Head; Slice 84/155; Axial slice
FLAIR MR.
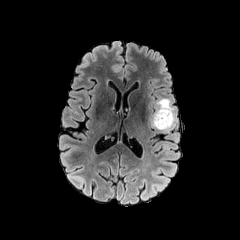
T1-weighted MRI.
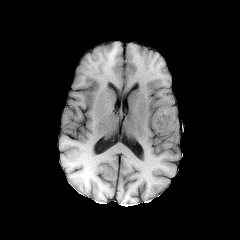
Post-contrast T1-weighted MR.
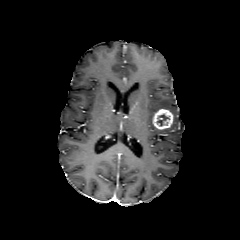
T2-weighted magnetic resonance.
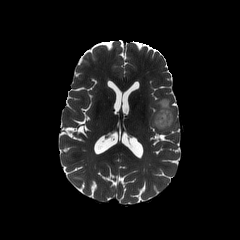
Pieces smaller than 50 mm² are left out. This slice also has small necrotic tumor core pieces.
The enhancing tumor appears at [x1=152, y1=109, x2=173, y2=129]. The largest peritumoral edema region lies within [x1=154, y1=98, x2=175, y2=132].